Head. Slice 65 of 155. Axial view.
FLAIR MRI.
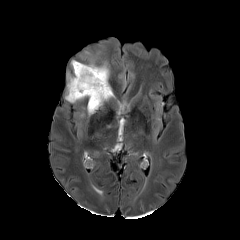
T1-weighted MR.
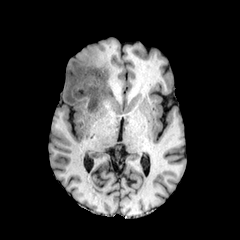
Post-contrast T1-weighted magnetic resonance.
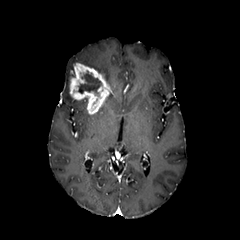
T2-weighted MR.
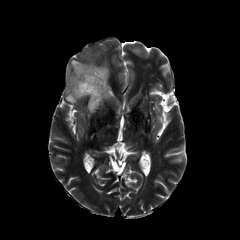
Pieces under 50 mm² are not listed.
The necrotic tumor core appears at {"x1": 78, "y1": 72, "x2": 101, "y2": 93}. The enhancing tumor is located at {"x1": 69, "y1": 63, "x2": 112, "y2": 114}. The 2 largest peritumoral edema regions appear at {"x1": 65, "y1": 73, "x2": 77, "y2": 102}, {"x1": 84, "y1": 62, "x2": 109, "y2": 81}.